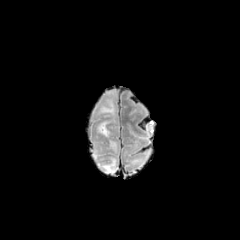
FLAIR MRI.
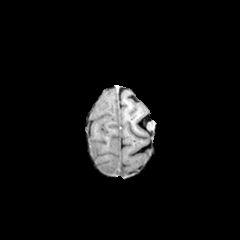
T1-weighted MRI.
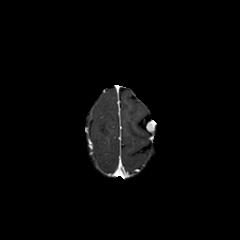
Post-contrast T1-weighted magnetic resonance.
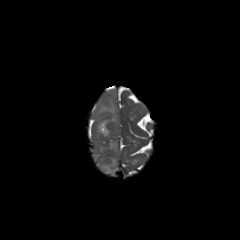
Same slice, T2-weighted MRI.
240x240 px. Head.
peritumoral edema — [100,158,116,172], [98,96,115,116], [98,121,109,136], [110,141,116,150]